FLAIR MRI.
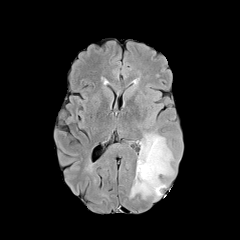
T1-weighted MRI.
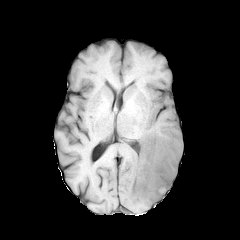
Post-contrast T1-weighted magnetic resonance.
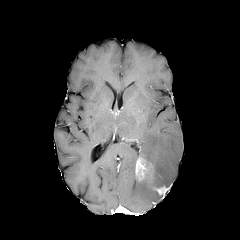
T2-weighted MR image.
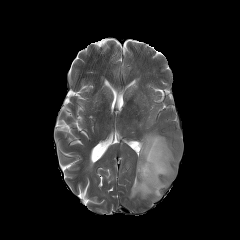
2 enhancing tumor regions are located at x1=154 y1=186 x2=167 y2=194, x1=135 y1=157 x2=154 y2=182. The peritumoral edema appears at x1=130 y1=132 x2=175 y2=200.